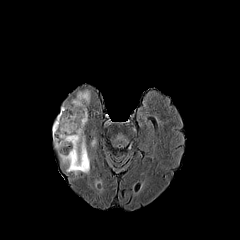
FLAIR MR.
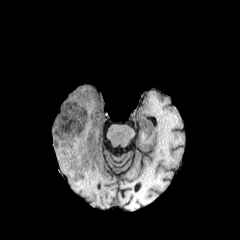
T1-weighted magnetic resonance.
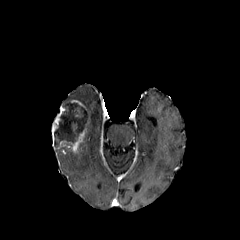
Post-contrast T1-weighted MRI of the same slice.
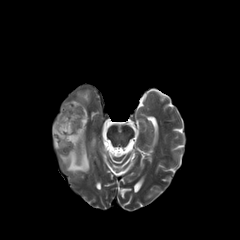
Same slice, T2-weighted MR image.
Brain
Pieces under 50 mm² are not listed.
The 2 largest peritumoral edema regions appear at (left=59, top=138, right=89, bottom=174), (left=75, top=91, right=90, bottom=104). The 2 largest enhancing tumor regions appear at (left=52, top=104, right=65, bottom=143), (left=57, top=128, right=85, bottom=153). The largest necrotic tumor core region appears at (left=54, top=101, right=88, bottom=147).